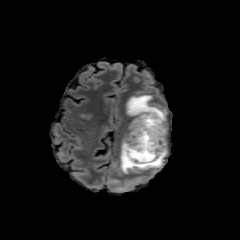
FLAIR magnetic resonance.
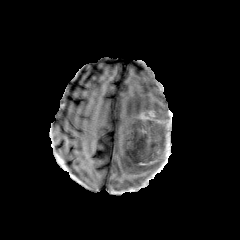
T1-weighted MRI.
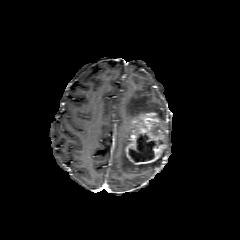
Post-contrast T1-weighted MR image of the same slice.
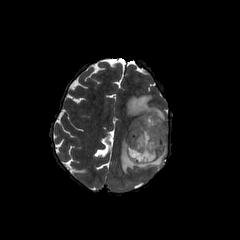
T2-weighted MR.
240x240. Brain.
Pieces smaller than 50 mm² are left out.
peritumoral edema: (left=120, top=138, right=163, bottom=173), (left=126, top=95, right=165, bottom=121)
enhancing tumor: (left=124, top=111, right=167, bottom=166)
necrotic tumor core: (left=129, top=134, right=162, bottom=162)